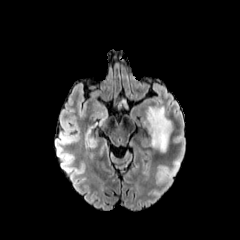
FLAIR MR image.
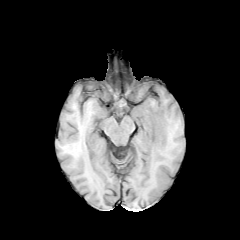
T1-weighted MR image.
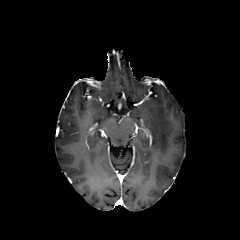
Post-contrast T1-weighted MR image.
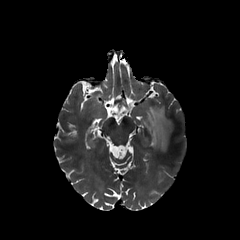
Same slice, T2-weighted MR image.
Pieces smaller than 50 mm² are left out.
{"peritumoral_edema": ["rect(143, 106, 171, 152)"]}